Axial view | Head | Image width 240 mm
FLAIR MRI.
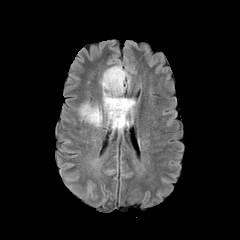
T1-weighted magnetic resonance.
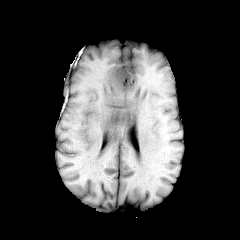
Post-contrast T1-weighted MRI.
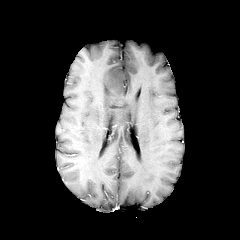
T2-weighted MR image.
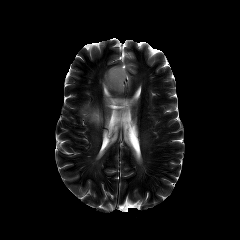
peritumoral edema: bounding box left=80, top=103, right=103, bottom=127; left=101, top=65, right=136, bottom=132